FLAIR MRI.
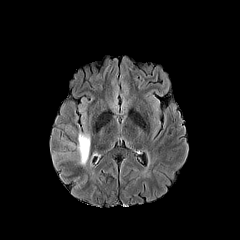
T1-weighted magnetic resonance.
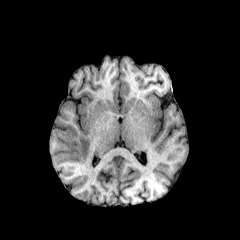
Post-contrast T1-weighted magnetic resonance.
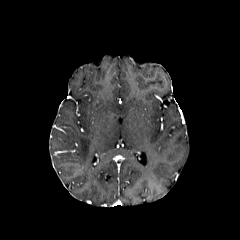
T2-weighted magnetic resonance.
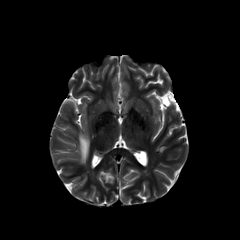
Axial view. Brain. 240x240.
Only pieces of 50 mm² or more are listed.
peritumoral edema: (78, 132, 90, 165)